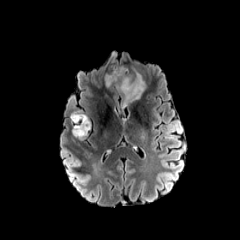
FLAIR magnetic resonance.
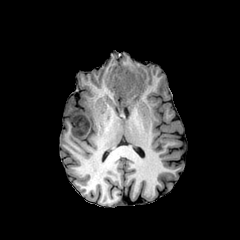
T1-weighted magnetic resonance.
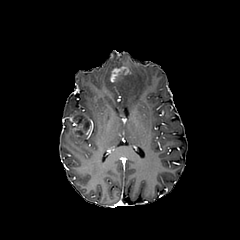
Post-contrast T1-weighted MR image.
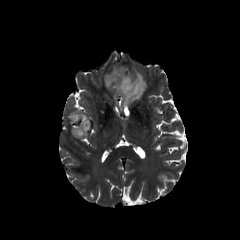
T2-weighted MR image of the same slice.
Brain
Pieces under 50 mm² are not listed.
necrotic tumor core: l=73, t=115, r=90, b=131 | peritumoral edema: l=105, t=71, r=145, b=107 | enhancing tumor: l=110, t=66, r=127, b=82; l=69, t=112, r=92, b=136